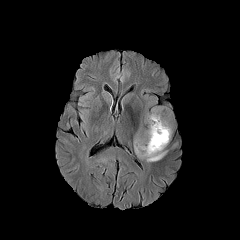
FLAIR MR.
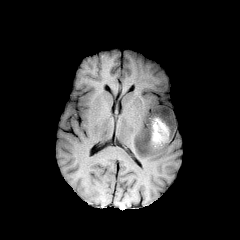
T1-weighted magnetic resonance.
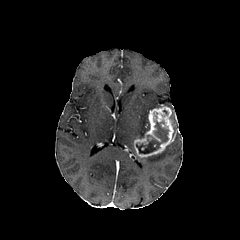
Post-contrast T1-weighted MR image of the same slice.
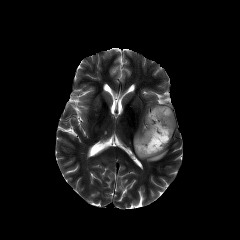
Same slice, T2-weighted MRI.
Axial plane
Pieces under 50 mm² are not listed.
necrotic tumor core: <box>136,121,168,153</box> | peritumoral edema: <box>141,149,166,161</box> | enhancing tumor: <box>134,105,174,157</box>